FLAIR MRI.
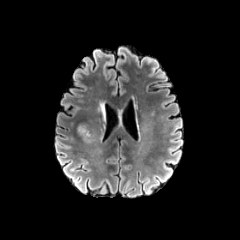
T1-weighted MR image.
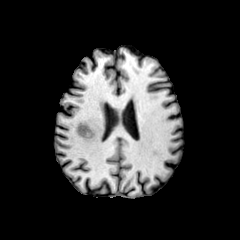
Post-contrast T1-weighted MR.
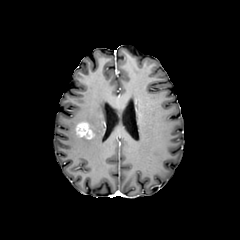
T2-weighted MR image.
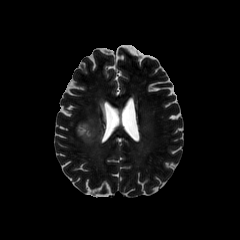
240x240. Brain.
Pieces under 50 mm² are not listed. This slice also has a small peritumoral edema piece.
enhancing tumor: 77, 123, 93, 138